FLAIR magnetic resonance.
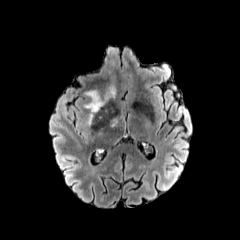
T1-weighted MRI.
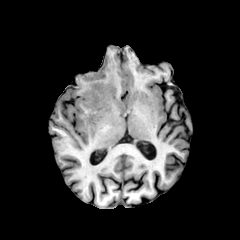
Post-contrast T1-weighted magnetic resonance.
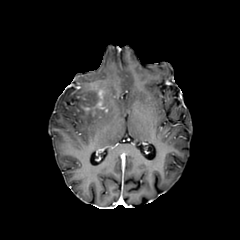
T2-weighted MR image.
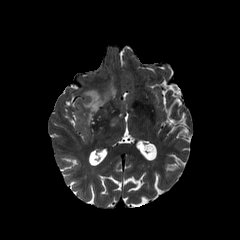
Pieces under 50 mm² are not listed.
enhancing tumor: bbox=[91, 85, 104, 107] | peritumoral edema: bbox=[109, 117, 118, 126]; bbox=[84, 85, 115, 124]